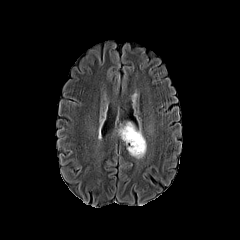
FLAIR magnetic resonance.
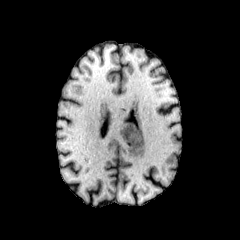
T1-weighted MRI.
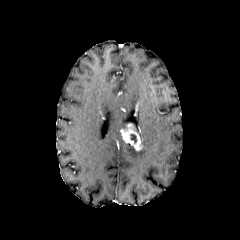
Same slice, post-contrast T1-weighted MR image.
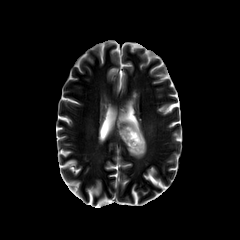
T2-weighted MR image of the same slice.
Head.
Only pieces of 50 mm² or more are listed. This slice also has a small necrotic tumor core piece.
enhancing_tumor:
  - 120:123:142:151
peritumoral_edema:
  - 127:131:146:158